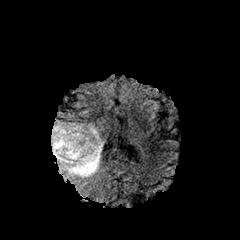
FLAIR MR image.
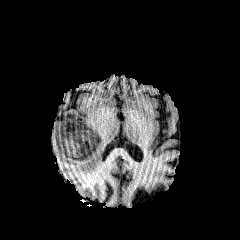
Same slice, T1-weighted magnetic resonance.
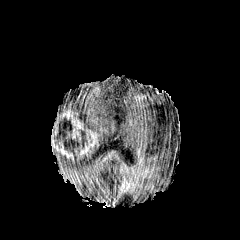
Post-contrast T1-weighted MR image.
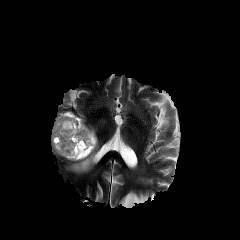
T2-weighted MRI of the same slice.
Brain. Axial view. 240x240.
The necrotic tumor core is located at box=[54, 121, 84, 158]. The enhancing tumor lies within box=[51, 111, 98, 160]. The peritumoral edema appears at box=[52, 124, 103, 177].